240x240, Slice index 102
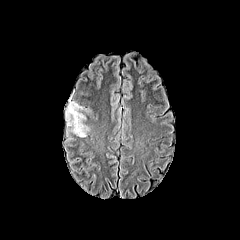
FLAIR MRI.
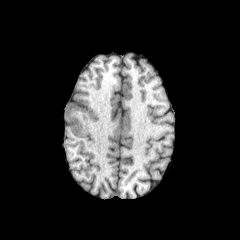
T1-weighted MRI of the same slice.
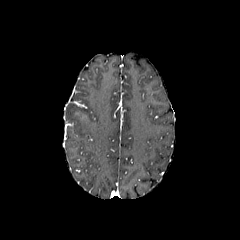
Same slice, post-contrast T1-weighted magnetic resonance.
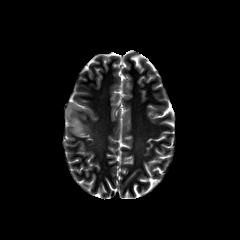
Same slice, T2-weighted MR.
peritumoral_edema:
  - (66, 103, 89, 137)